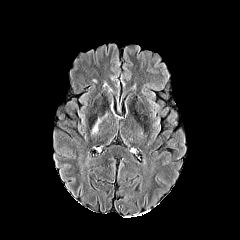
FLAIR MR image.
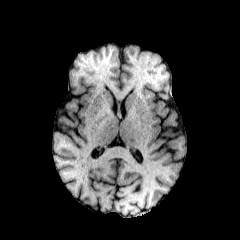
T1-weighted MR.
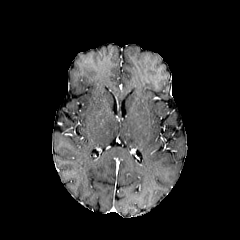
Same slice, post-contrast T1-weighted MR.
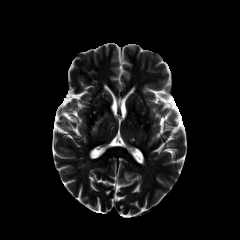
T2-weighted MR image.
Axial view
Annotated regions:
• peritumoral edema: 92:119:100:133